FLAIR MRI.
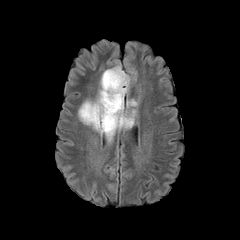
T1-weighted MR image.
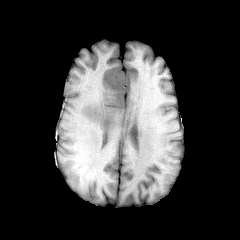
Post-contrast T1-weighted MR image.
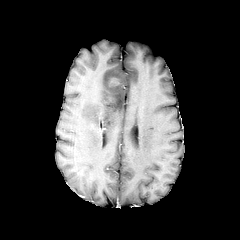
T2-weighted MRI.
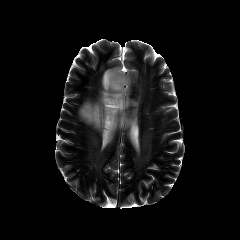
Axial slice | Brain
The enhancing tumor is at x1=108 y1=76 x2=119 y2=88. 2 peritumoral edema regions appear at x1=78 y1=63 x2=136 y2=142, x1=126 y1=98 x2=138 y2=108.